Axial slice. Slice index 84.
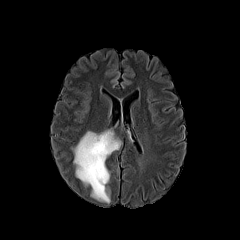
FLAIR magnetic resonance.
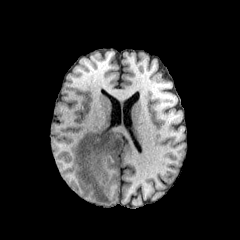
Same slice, T1-weighted MR image.
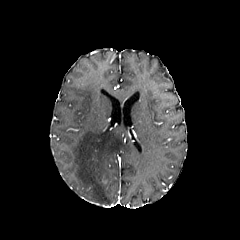
Post-contrast T1-weighted magnetic resonance of the same slice.
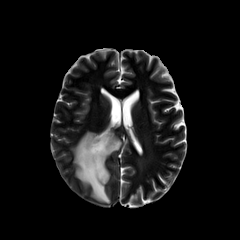
T2-weighted MR image.
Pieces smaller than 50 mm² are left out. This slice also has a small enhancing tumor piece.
peritumoral_edema:
  - x1=72, y1=130, x2=121, y2=203